Brain.
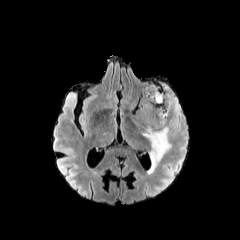
FLAIR magnetic resonance.
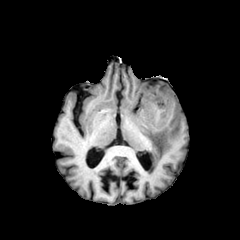
Same slice, T1-weighted magnetic resonance.
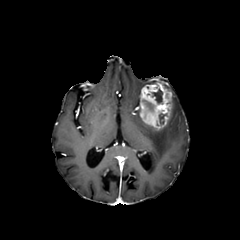
Post-contrast T1-weighted MR image.
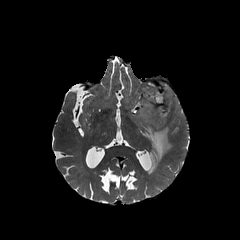
T2-weighted MR.
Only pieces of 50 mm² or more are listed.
peritumoral edema at (x1=170, y1=96, x2=182, y2=130), (x1=141, y1=124, x2=171, y2=173)
enhancing tumor at (x1=140, y1=81, x2=172, y2=129)
necrotic tumor core at (x1=152, y1=89, x2=162, y2=103), (x1=159, y1=113, x2=166, y2=124)